Slice index 101; 240x240; Head; Axial plane
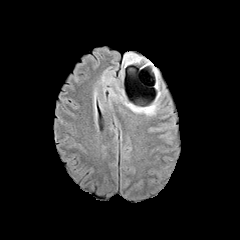
FLAIR MR image.
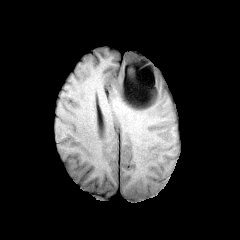
T1-weighted MR image.
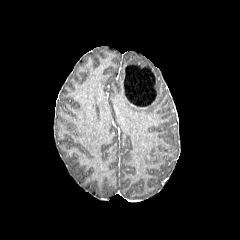
Post-contrast T1-weighted MRI.
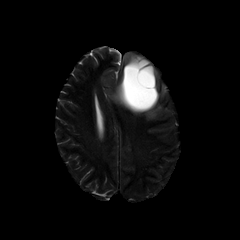
Same slice, T2-weighted MRI.
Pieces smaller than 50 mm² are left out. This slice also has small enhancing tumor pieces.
peritumoral edema: 123:53:157:76, 122:92:160:115 | necrotic tumor core: 123:64:157:107